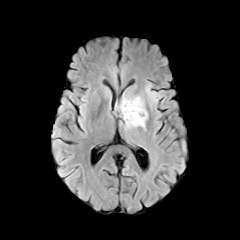
FLAIR MR image.
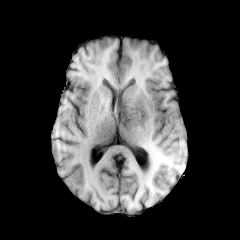
T1-weighted MR of the same slice.
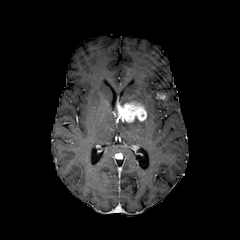
Post-contrast T1-weighted MR.
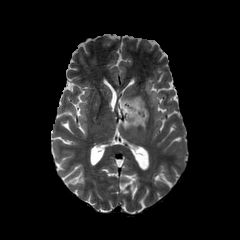
T2-weighted MR.
Head. Axial plane.
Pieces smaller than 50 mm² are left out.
The largest enhancing tumor region is located at 116, 101, 146, 123. 3 peritumoral edema regions are bounded by 123, 111, 148, 129; 146, 85, 157, 105; 120, 95, 144, 105.